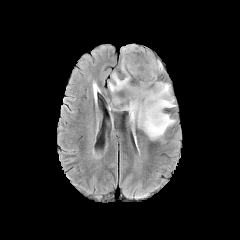
FLAIR MR image.
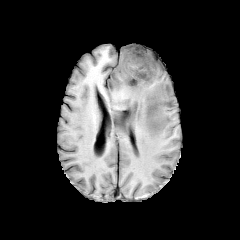
T1-weighted MRI.
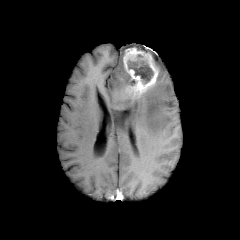
Post-contrast T1-weighted magnetic resonance of the same slice.
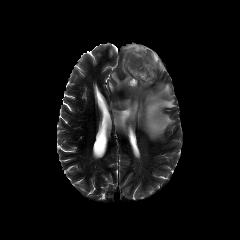
T2-weighted MR of the same slice.
Axial slice
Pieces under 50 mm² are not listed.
peritumoral_edema:
  - 109, 58, 175, 139
  - 121, 44, 138, 55
  - 157, 59, 164, 72
enhancing_tumor:
  - 123, 46, 159, 97
necrotic_tumor_core:
  - 125, 60, 153, 85